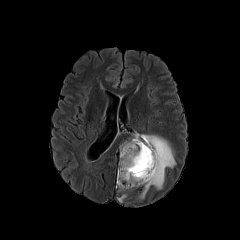
FLAIR magnetic resonance.
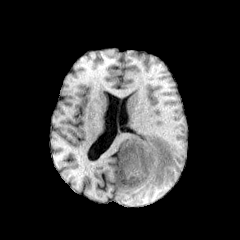
T1-weighted MR image.
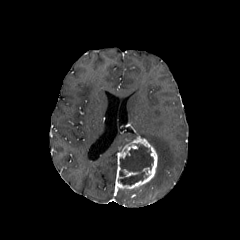
Same slice, post-contrast T1-weighted MR image.
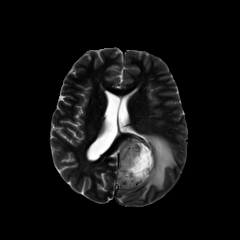
T2-weighted MR of the same slice.
Axial plane | 240x240
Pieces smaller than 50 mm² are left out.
enhancing_tumor:
  - box=[123, 169, 138, 176]
  - box=[116, 136, 157, 190]
necrotic_tumor_core:
  - box=[118, 144, 153, 185]
peritumoral_edema:
  - box=[131, 134, 175, 198]